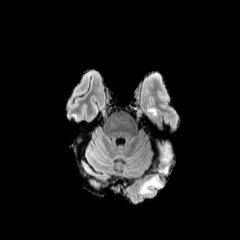
FLAIR MR.
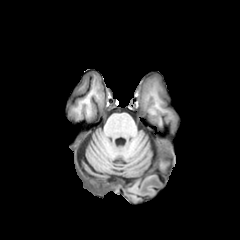
T1-weighted magnetic resonance.
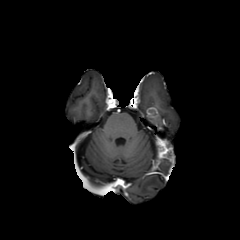
Same slice, post-contrast T1-weighted MRI.
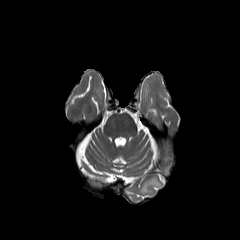
T2-weighted MR image.
Axial plane
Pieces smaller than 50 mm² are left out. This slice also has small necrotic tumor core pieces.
2 enhancing tumor regions are located at 145,107,158,121; 156,139,173,160. The 2 largest peritumoral edema regions are bounded by 161,159,169,172; 139,175,164,193.